Brain | Axial plane
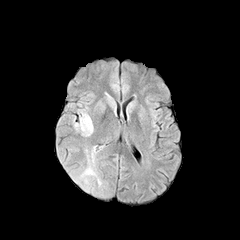
FLAIR magnetic resonance.
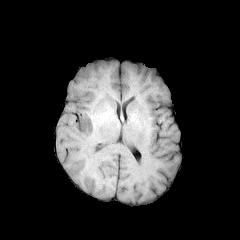
T1-weighted MRI.
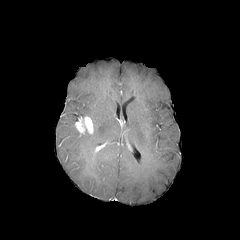
Same slice, post-contrast T1-weighted MRI.
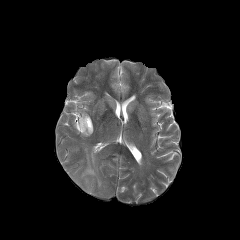
T2-weighted MR image.
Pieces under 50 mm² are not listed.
peritumoral edema: (left=78, top=146, right=101, bottom=187), (left=79, top=110, right=89, bottom=117) | enhancing tumor: (left=75, top=116, right=93, bottom=133)